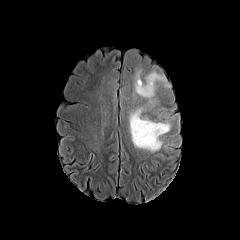
FLAIR magnetic resonance.
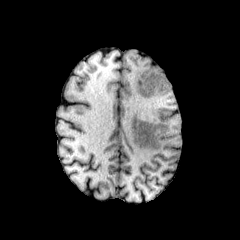
T1-weighted MR image.
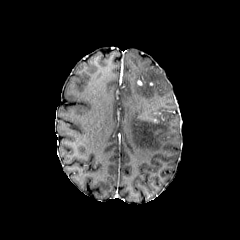
Same slice, post-contrast T1-weighted MR image.
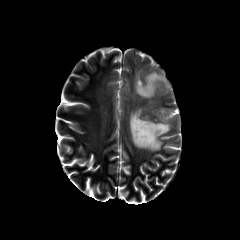
Same slice, T2-weighted MR.
240x240. Head. Axial plane.
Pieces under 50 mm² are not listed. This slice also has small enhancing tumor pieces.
peritumoral edema: bounding box 134, 70, 169, 105; 129, 107, 170, 151